Image width 240 mm, 1.00 mm slice spacing, Brain
FLAIR magnetic resonance.
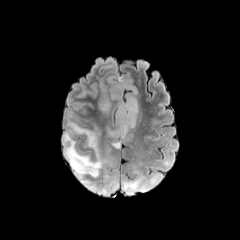
T1-weighted magnetic resonance.
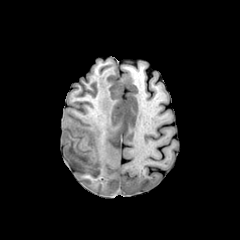
Post-contrast T1-weighted MRI.
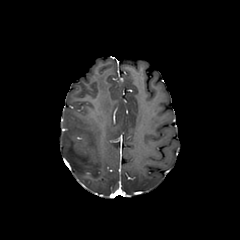
T2-weighted MR.
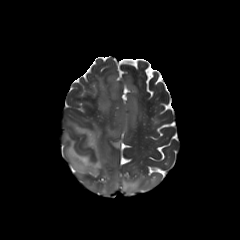
peritumoral edema at <box>62,120,118,195</box>, <box>100,99,110,111</box>, <box>108,97,137,138</box>, <box>122,174,156,194</box>, <box>112,140,120,148</box>